Image width 240 mm, 1.00 mm slice spacing | Slice 124/155 | Axial view | Head
FLAIR MR.
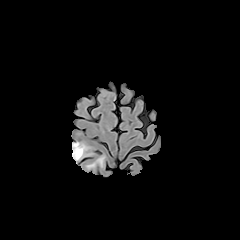
T1-weighted MR image.
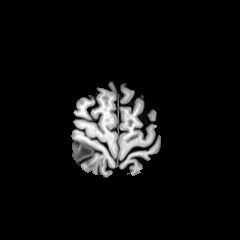
Post-contrast T1-weighted MR.
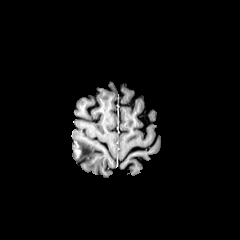
T2-weighted magnetic resonance.
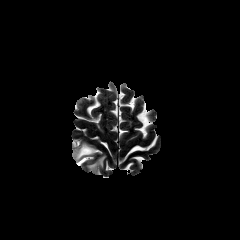
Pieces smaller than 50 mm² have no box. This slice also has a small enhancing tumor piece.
2 peritumoral edema regions are bounded by [72,142,92,160], [87,155,105,168].